FLAIR MR.
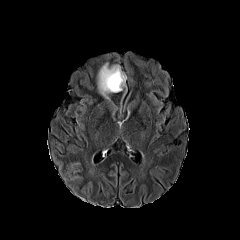
T1-weighted MR image.
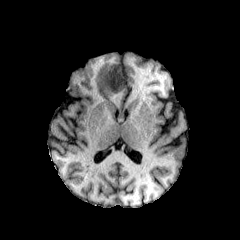
Post-contrast T1-weighted magnetic resonance.
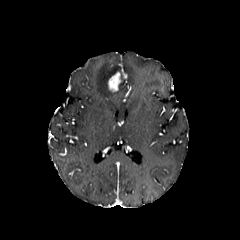
T2-weighted magnetic resonance.
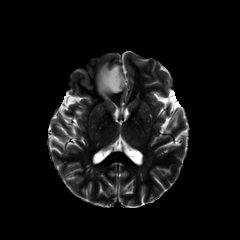
Head
{"enhancing_tumor": ["x1=108, y1=71, x2=122, y2=92"], "peritumoral_edema": ["x1=97, y1=62, x2=125, y2=99"]}